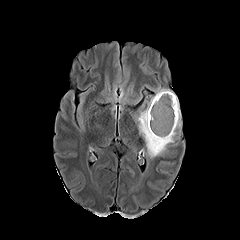
FLAIR MR.
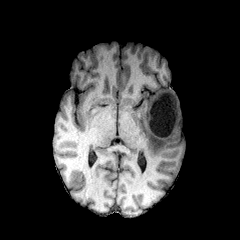
T1-weighted magnetic resonance of the same slice.
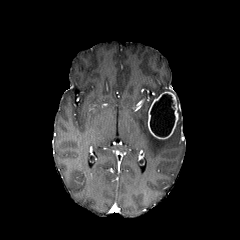
Post-contrast T1-weighted MR.
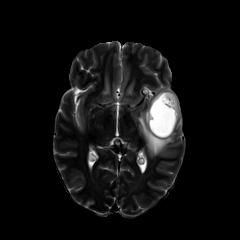
T2-weighted MRI.
Axial view.
{
  "peritumoral_edema": [
    "<box>137,87,181,157</box>"
  ],
  "enhancing_tumor": [
    "<box>148,91,178,139</box>"
  ],
  "necrotic_tumor_core": [
    "<box>150,93,175,137</box>"
  ]
}